FLAIR MRI.
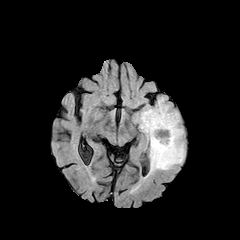
T1-weighted MRI.
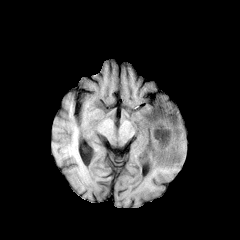
Post-contrast T1-weighted MR.
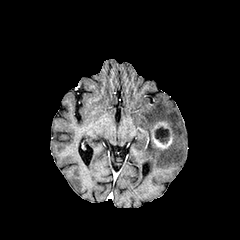
T2-weighted magnetic resonance.
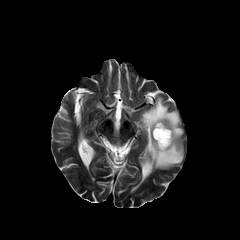
Brain, 240x240 px
The necrotic tumor core appears at [x1=154, y1=126, x2=169, y2=142]. The peritumoral edema appears at [x1=136, y1=97, x2=184, y2=175]. The enhancing tumor is located at [x1=151, y1=121, x2=173, y2=149].